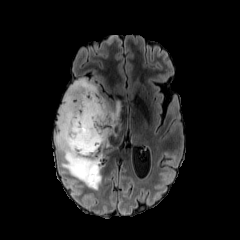
FLAIR magnetic resonance.
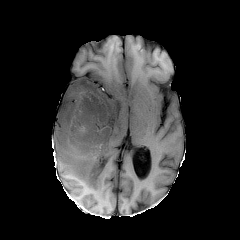
T1-weighted MR of the same slice.
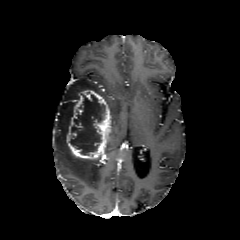
Same slice, post-contrast T1-weighted MRI.
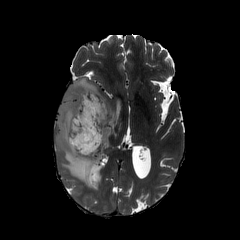
T2-weighted MRI.
240x240 | Head
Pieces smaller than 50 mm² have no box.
necrotic_tumor_core:
  - (70,94,104,154)
enhancing_tumor:
  - (66,90,112,163)
peritumoral_edema:
  - (110,101,120,133)
  - (55,78,102,190)